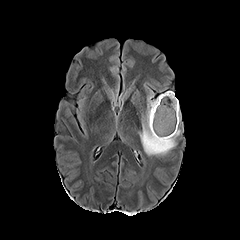
FLAIR MRI.
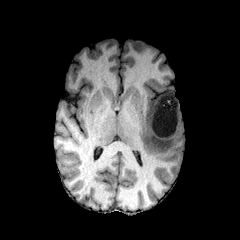
T1-weighted MRI of the same slice.
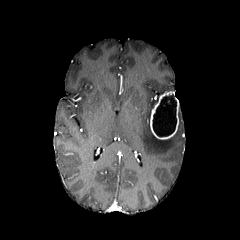
Post-contrast T1-weighted MRI.
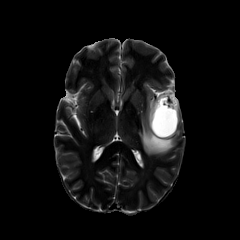
T2-weighted magnetic resonance.
Image size 240x240, Head
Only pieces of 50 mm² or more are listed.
The largest peritumoral edema region is located at (139, 94, 180, 155). The necrotic tumor core appears at (152, 94, 176, 136). The enhancing tumor appears at (150, 91, 178, 139).